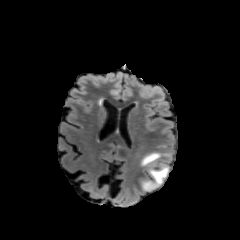
FLAIR MR.
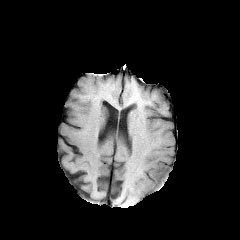
T1-weighted MR image.
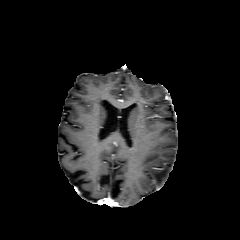
Post-contrast T1-weighted MR image.
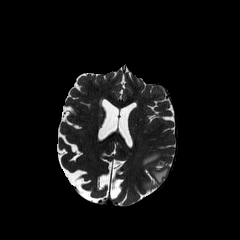
T2-weighted MRI of the same slice.
Head, Image size 240x240, Axial view
3 peritumoral edema regions are bounded by {"x1": 142, "y1": 180, "x2": 154, "y2": 190}, {"x1": 141, "y1": 152, "x2": 160, "y2": 165}, {"x1": 149, "y1": 166, "x2": 168, "y2": 185}.